Axial slice | Brain | Slice 62/155
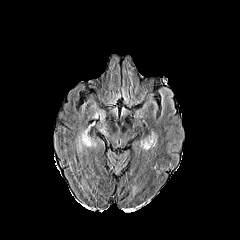
FLAIR MR.
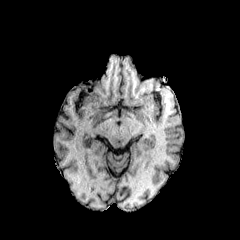
T1-weighted magnetic resonance of the same slice.
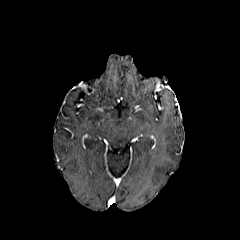
Post-contrast T1-weighted magnetic resonance.
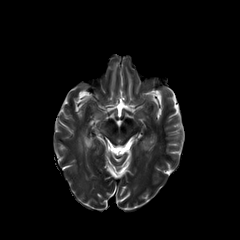
T2-weighted MR.
2 peritumoral edema regions appear at rect(141, 142, 150, 149); rect(78, 130, 95, 150).